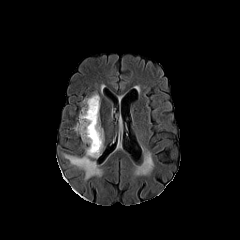
FLAIR magnetic resonance.
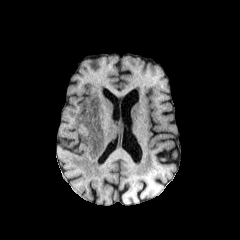
T1-weighted MR image.
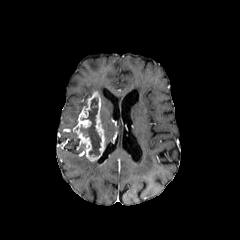
Post-contrast T1-weighted magnetic resonance.
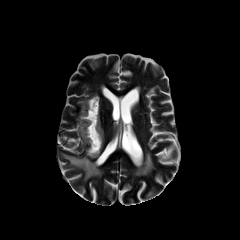
Same slice, T2-weighted MR image.
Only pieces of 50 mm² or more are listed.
Annotated regions:
* necrotic tumor core: [80, 98, 101, 156]
* enhancing tumor: [74, 92, 104, 161]
* peritumoral edema: [63, 154, 101, 180]